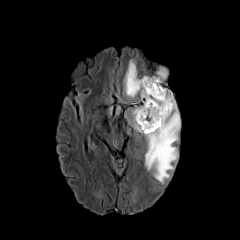
FLAIR magnetic resonance.
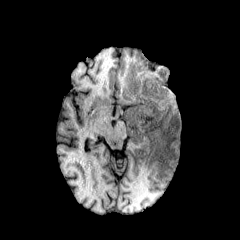
T1-weighted MRI.
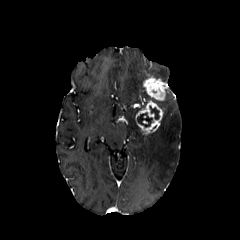
Post-contrast T1-weighted magnetic resonance of the same slice.
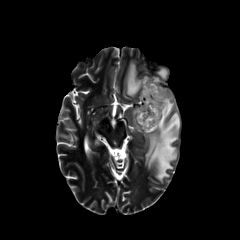
T2-weighted MRI.
240x240 | Axial slice
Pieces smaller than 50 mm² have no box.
necrotic tumor core — (x1=150, y1=106, x2=159, y2=119), (x1=137, y1=113, x2=152, y2=127)
enhancing tumor — (x1=135, y1=100, x2=163, y2=134), (x1=143, y1=76, x2=167, y2=100)
peritumoral edema — (x1=155, y1=68, x2=167, y2=80), (x1=145, y1=90, x2=180, y2=183), (x1=124, y1=60, x2=148, y2=97), (x1=131, y1=107, x2=142, y2=132)